Head, 240x240
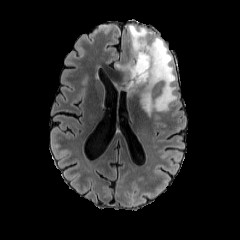
FLAIR MR.
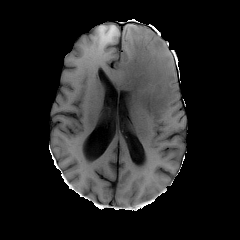
T1-weighted magnetic resonance of the same slice.
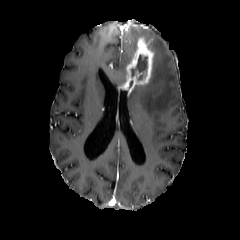
Post-contrast T1-weighted MR image.
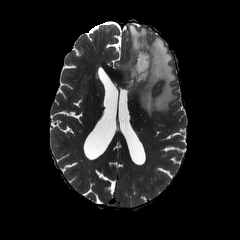
T2-weighted MRI of the same slice.
peritumoral edema: [116,24,176,117] | enhancing tumor: [124,35,155,95] | necrotic tumor core: [131,55,147,79]